240x240 | Image width 240 mm, 1.00 mm slice spacing
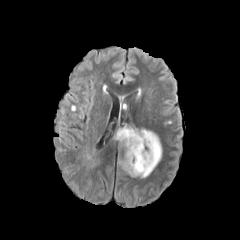
FLAIR MR.
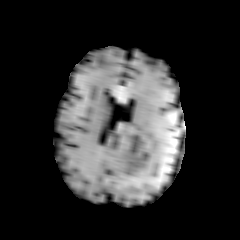
T1-weighted MR.
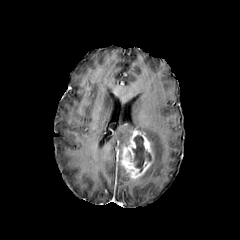
Post-contrast T1-weighted magnetic resonance of the same slice.
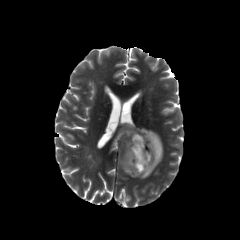
Same slice, T2-weighted magnetic resonance.
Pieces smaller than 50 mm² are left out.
peritumoral edema: x1=138 y1=129 x2=162 y2=178, x1=116 y1=127 x2=135 y2=145 | enhancing tumor: x1=120 y1=129 x2=153 y2=178 | necrotic tumor core: x1=133 y1=135 x2=144 y2=172